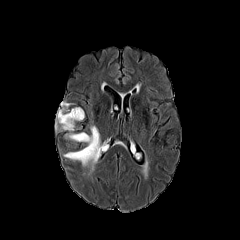
FLAIR magnetic resonance.
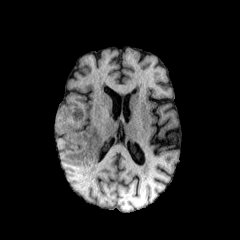
T1-weighted MRI of the same slice.
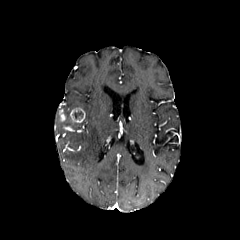
Same slice, post-contrast T1-weighted MR.
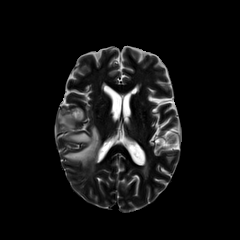
T2-weighted MR.
Axial view
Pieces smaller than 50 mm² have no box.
{
  "necrotic_tumor_core": [
    "x1=73, y1=111, x2=83, y2=118"
  ],
  "peritumoral_edema": [
    "x1=56, y1=103, x2=75, y2=130",
    "x1=64, y1=125, x2=100, y2=166"
  ],
  "enhancing_tumor": [
    "x1=58, y1=109, x2=66, y2=121",
    "x1=69, y1=107, x2=85, y2=123"
  ]
}